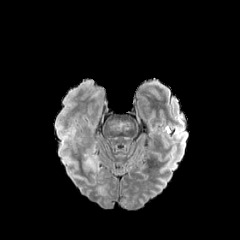
FLAIR MRI.
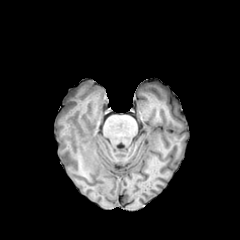
T1-weighted MR image of the same slice.
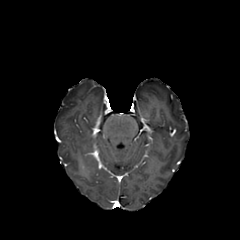
Post-contrast T1-weighted MR.
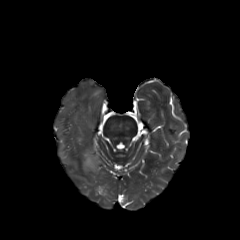
Same slice, T2-weighted MR.
Brain.
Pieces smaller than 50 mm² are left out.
{
  "peritumoral_edema": [
    "box=[84, 150, 99, 170]"
  ]
}